FLAIR magnetic resonance.
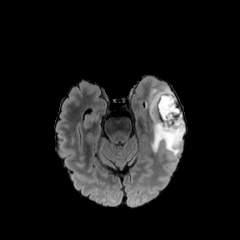
T1-weighted MRI.
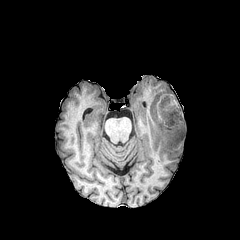
Post-contrast T1-weighted MR image.
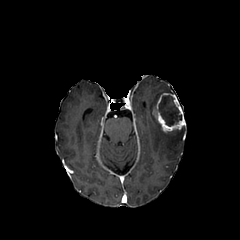
T2-weighted MR.
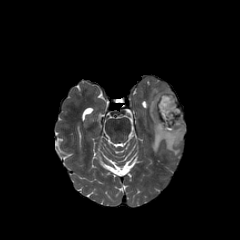
Head
peritumoral edema: {"x1": 146, "y1": 88, "x2": 185, "y2": 156} | enhancing tumor: {"x1": 152, "y1": 93, "x2": 185, "y2": 132} | necrotic tumor core: {"x1": 158, "y1": 95, "x2": 181, "y2": 126}